Brain | 240x240
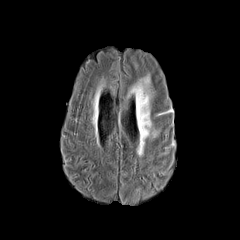
FLAIR magnetic resonance.
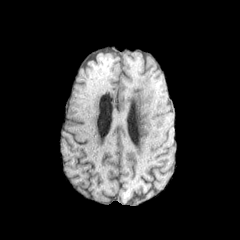
T1-weighted MRI of the same slice.
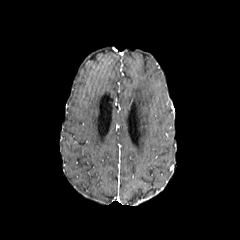
Post-contrast T1-weighted magnetic resonance.
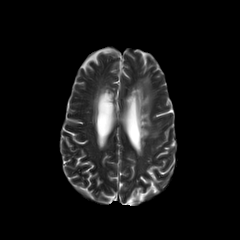
T2-weighted MR image.
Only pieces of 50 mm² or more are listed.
The largest peritumoral edema region lies within 130 75 151 154.